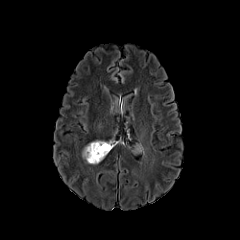
FLAIR magnetic resonance.
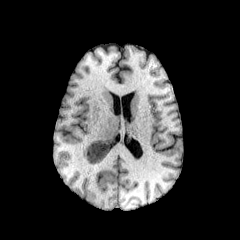
Same slice, T1-weighted magnetic resonance.
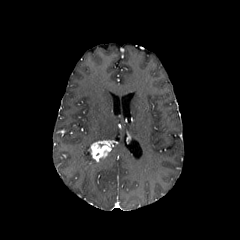
Post-contrast T1-weighted MR.
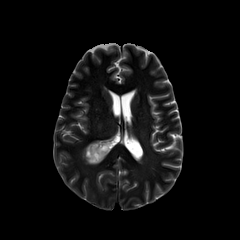
Same slice, T2-weighted MR.
Head. Axial plane.
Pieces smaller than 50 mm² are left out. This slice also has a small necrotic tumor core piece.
peritumoral_edema:
  - <bbox>82, 142, 103, 164</bbox>
enhancing_tumor:
  - <bbox>89, 141, 111, 161</bbox>